FLAIR magnetic resonance.
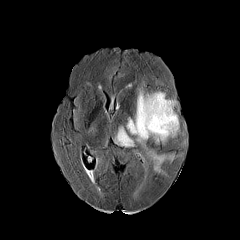
T1-weighted MR image.
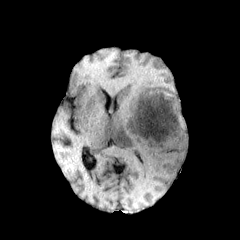
Post-contrast T1-weighted MR image.
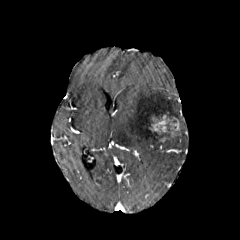
T2-weighted MR.
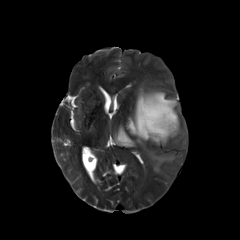
Brain. Axial plane.
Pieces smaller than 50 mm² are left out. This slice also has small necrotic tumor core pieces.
enhancing tumor: left=149, top=115, right=179, bottom=137
peritumoral edema: left=114, top=126, right=135, bottom=147; left=126, top=88, right=179, bottom=175